Axial view. Head.
FLAIR MR image.
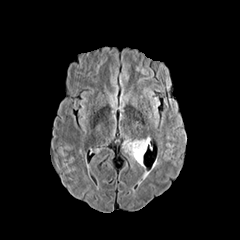
T1-weighted MR.
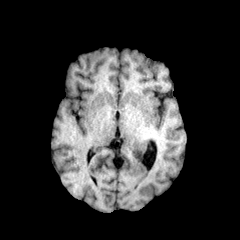
Post-contrast T1-weighted MR.
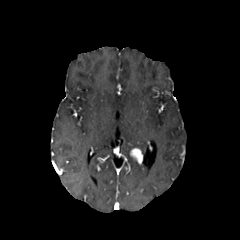
T2-weighted MR.
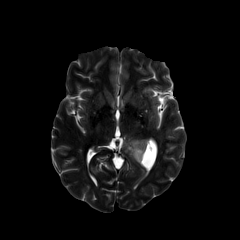
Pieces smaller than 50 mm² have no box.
peritumoral_edema:
  - left=125, top=139, right=148, bottom=154
enhancing_tumor:
  - left=130, top=147, right=142, bottom=163